FLAIR MRI.
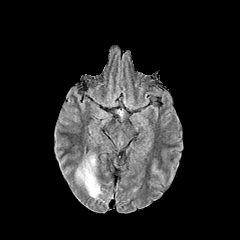
T1-weighted MR image.
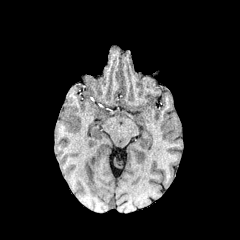
Post-contrast T1-weighted MR image.
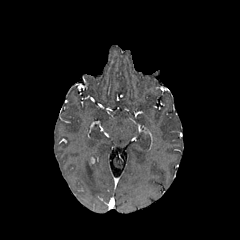
T2-weighted MR.
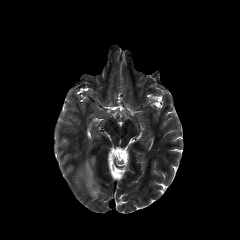
Brain; Axial plane; 240x240
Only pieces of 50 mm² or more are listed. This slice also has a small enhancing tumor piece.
The peritumoral edema lies within x1=76 y1=155 x2=101 y2=198.